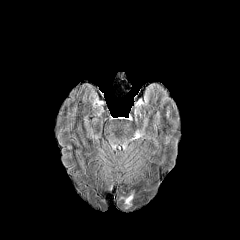
FLAIR magnetic resonance.
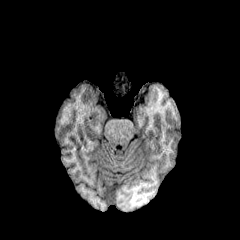
Same slice, T1-weighted MR.
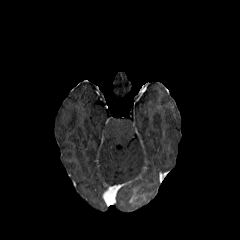
Post-contrast T1-weighted MRI.
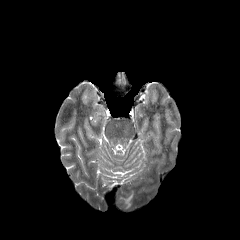
T2-weighted MRI.
Head
peritumoral edema = (124, 190, 134, 210)